240x240 px. Axial view. Head.
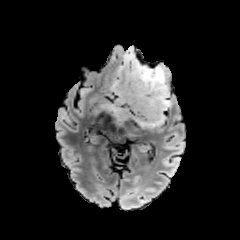
FLAIR MR.
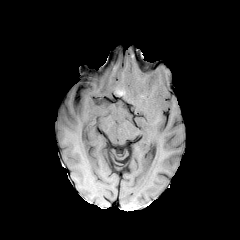
Same slice, T1-weighted MR.
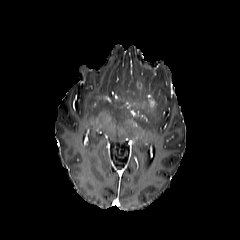
Post-contrast T1-weighted magnetic resonance.
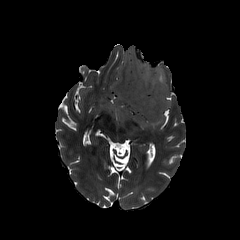
Same slice, T2-weighted MR image.
Findings:
• enhancing tumor: 136 79 143 89, 144 94 155 107
• peritumoral edema: 113 46 170 126